Slice 117 of 155, Axial plane, Head
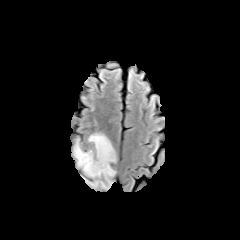
FLAIR MRI.
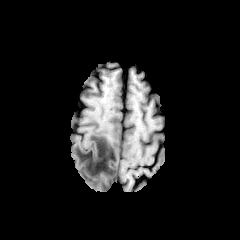
T1-weighted MRI of the same slice.
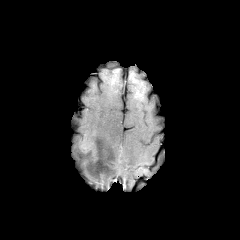
Same slice, post-contrast T1-weighted MRI.
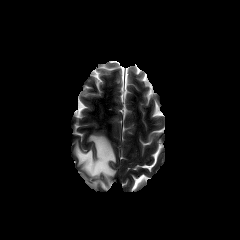
T2-weighted MR of the same slice.
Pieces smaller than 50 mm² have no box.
Segmented structures:
• peritumoral edema: [75,134,115,184]